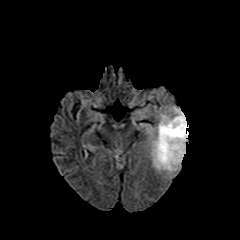
FLAIR MR image.
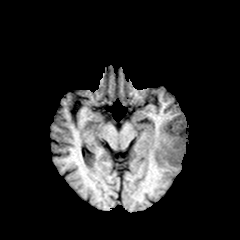
T1-weighted MR image.
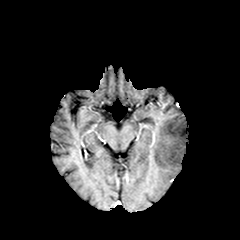
Post-contrast T1-weighted magnetic resonance.
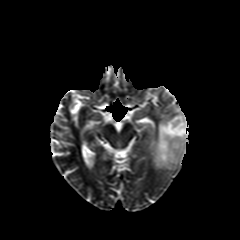
Same slice, T2-weighted magnetic resonance.
240x240 px; Brain
peritumoral edema at region(151, 106, 188, 171)